Axial plane.
FLAIR magnetic resonance.
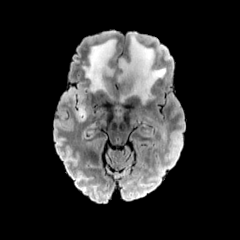
T1-weighted MRI.
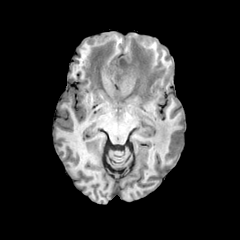
Post-contrast T1-weighted MRI.
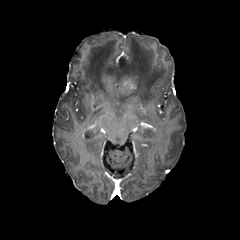
T2-weighted MR.
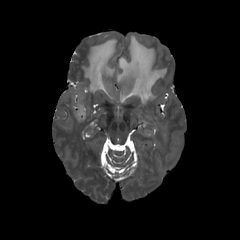
{"enhancing_tumor": ["123 79 136 89"], "peritumoral_edema": ["83 38 116 97", "117 34 166 103", "145 119 166 142", "61 84 85 122"]}